FLAIR MRI.
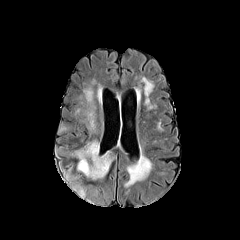
T1-weighted MR.
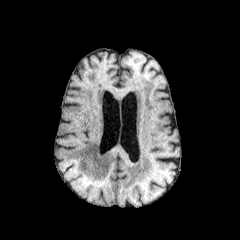
Post-contrast T1-weighted MRI.
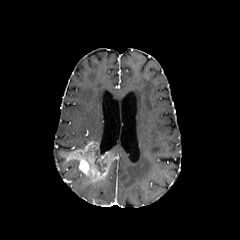
T2-weighted MR image.
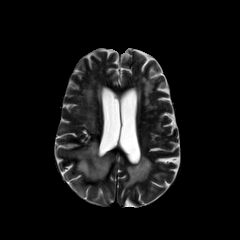
240x240 px.
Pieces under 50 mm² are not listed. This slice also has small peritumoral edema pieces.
enhancing tumor: [59, 141, 114, 184]
necrotic tumor core: [93, 143, 106, 172]